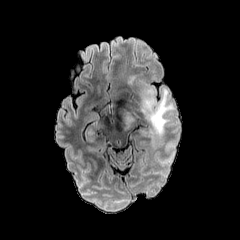
FLAIR MR.
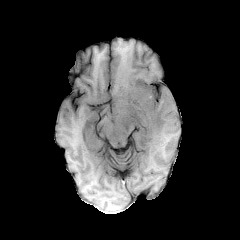
T1-weighted magnetic resonance of the same slice.
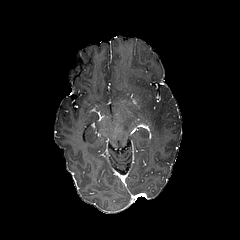
Post-contrast T1-weighted magnetic resonance.
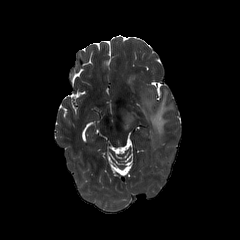
T2-weighted magnetic resonance.
Head
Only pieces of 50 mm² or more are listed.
peritumoral edema at box(142, 89, 173, 136); box(122, 109, 137, 127)